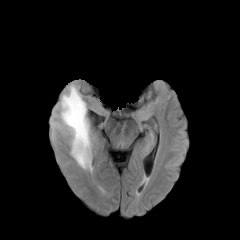
FLAIR MR image.
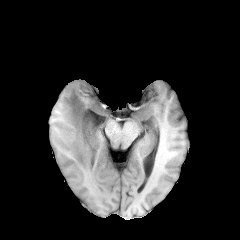
T1-weighted MRI.
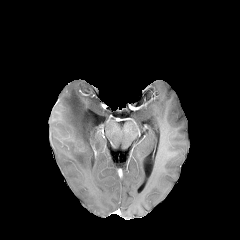
Post-contrast T1-weighted magnetic resonance of the same slice.
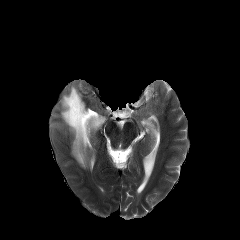
T2-weighted MR image of the same slice.
Head; Axial plane
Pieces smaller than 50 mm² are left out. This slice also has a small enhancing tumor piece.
- peritumoral edema: 60 84 92 171